Axial slice.
FLAIR MR image.
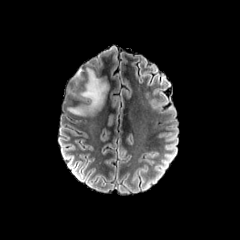
T1-weighted magnetic resonance.
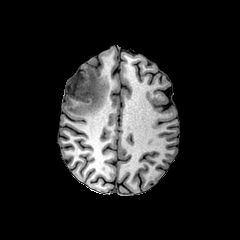
Post-contrast T1-weighted MR.
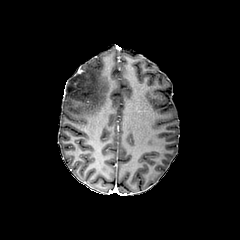
T2-weighted MRI.
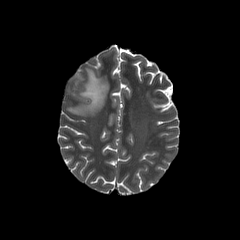
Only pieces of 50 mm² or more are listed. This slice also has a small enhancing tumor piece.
The largest peritumoral edema region is at region(68, 68, 108, 115).